Axial plane | Brain
FLAIR MRI.
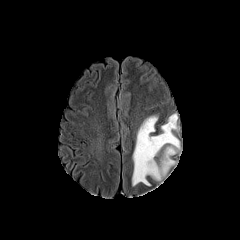
T1-weighted MR image.
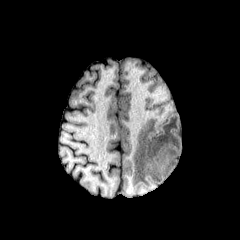
Post-contrast T1-weighted MR.
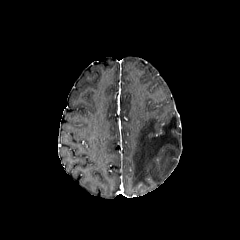
T2-weighted MRI.
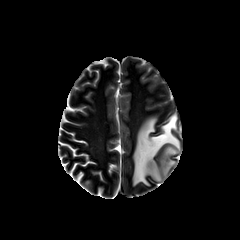
<segmentation>
  <peritumoral_edema>bbox=[132, 114, 180, 186]</peritumoral_edema>
</segmentation>